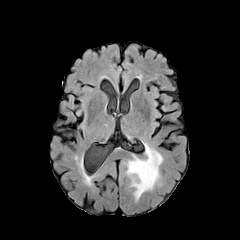
FLAIR MRI.
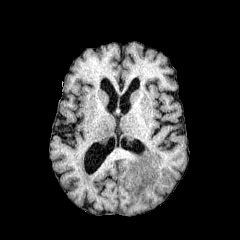
T1-weighted MR image.
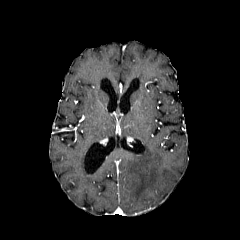
Post-contrast T1-weighted MRI of the same slice.
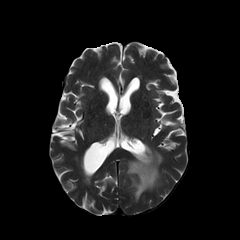
T2-weighted MRI.
Axial view; Head
The peritumoral edema appears at (x1=126, y1=144, x2=162, y2=200).